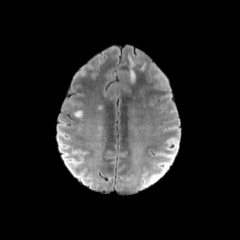
FLAIR magnetic resonance.
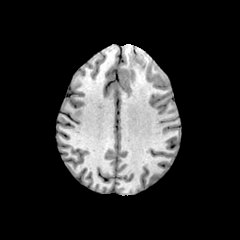
T1-weighted MR of the same slice.
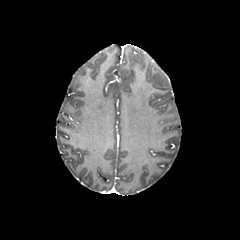
Post-contrast T1-weighted MR image of the same slice.
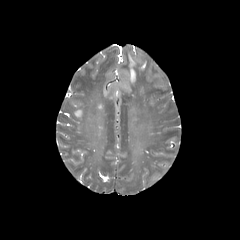
T2-weighted MR.
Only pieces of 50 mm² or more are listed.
peritumoral edema at [130, 70, 135, 82]